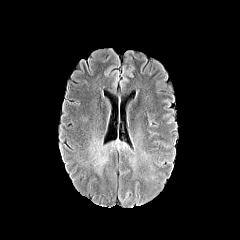
FLAIR MR image.
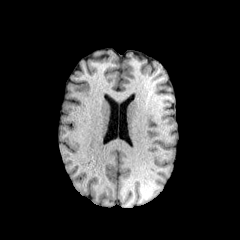
T1-weighted magnetic resonance of the same slice.
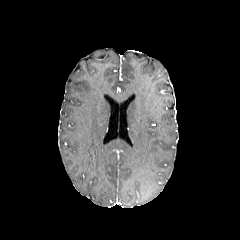
Same slice, post-contrast T1-weighted MR.
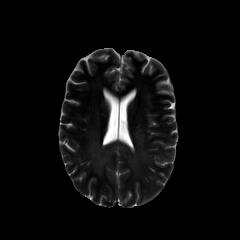
T2-weighted magnetic resonance.
Axial slice.
The peritumoral edema is located at bbox(78, 127, 164, 188).